Head | Axial view
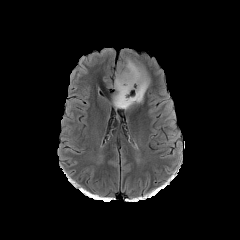
FLAIR magnetic resonance.
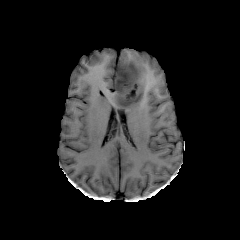
T1-weighted MR.
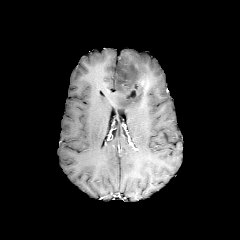
Post-contrast T1-weighted MRI of the same slice.
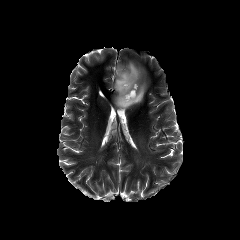
Same slice, T2-weighted MR.
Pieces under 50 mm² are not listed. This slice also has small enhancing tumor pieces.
peritumoral_edema:
  - x1=113, y1=59, x2=149, y2=109
necrotic_tumor_core:
  - x1=116, y1=66, x2=139, y2=104